Slice 32 of 155, Axial view
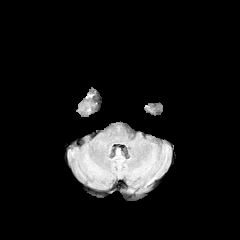
FLAIR magnetic resonance.
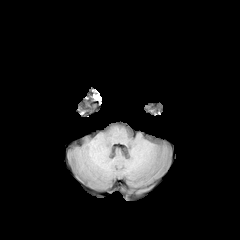
Same slice, T1-weighted magnetic resonance.
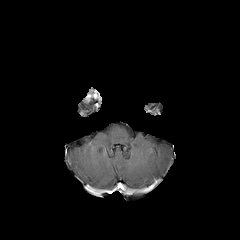
Post-contrast T1-weighted magnetic resonance.
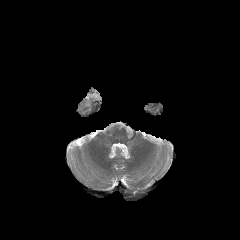
T2-weighted magnetic resonance of the same slice.
<segmentation>
  <enhancing_tumor>(x1=84, y1=93, x2=95, y2=103)</enhancing_tumor>
</segmentation>